FLAIR MRI.
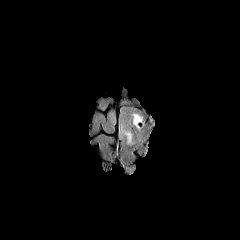
T1-weighted MR image.
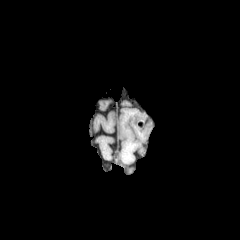
Post-contrast T1-weighted MR image.
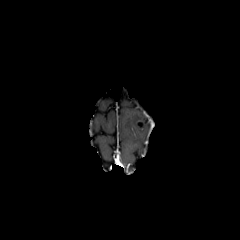
T2-weighted MR.
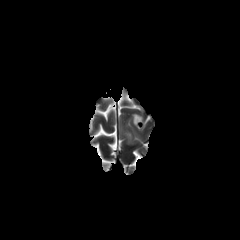
Axial plane; Brain; 240x240
peritumoral_edema:
  - 119:126:133:144